Axial slice; Image width 240 mm
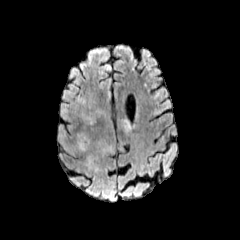
FLAIR magnetic resonance.
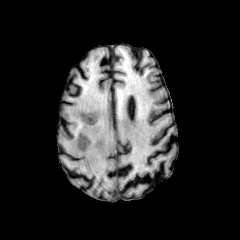
T1-weighted MRI.
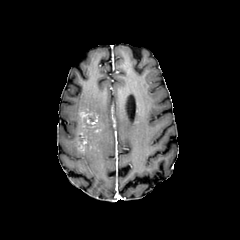
Post-contrast T1-weighted MR image.
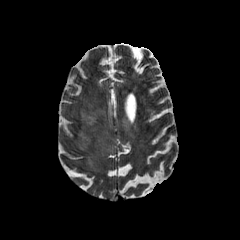
T2-weighted MRI.
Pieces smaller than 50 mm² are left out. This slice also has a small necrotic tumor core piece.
The largest enhancing tumor region is at box(77, 111, 97, 151). The 3 largest peritumoral edema regions appear at box(94, 141, 113, 157); box(117, 119, 130, 134); box(88, 156, 93, 165).